Image width 240 mm, 1.00 mm slice spacing. Head.
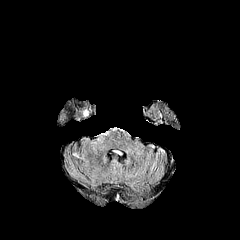
FLAIR MR image.
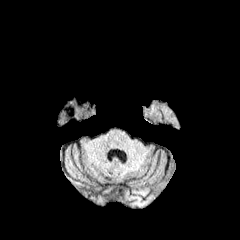
T1-weighted MRI.
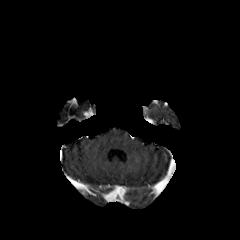
Post-contrast T1-weighted MR of the same slice.
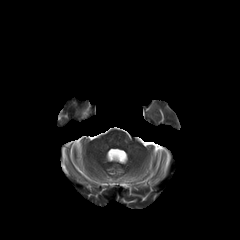
T2-weighted MRI of the same slice.
- enhancing tumor: x1=83 y1=108 x2=92 y2=118